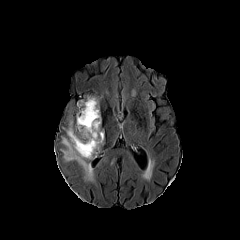
FLAIR magnetic resonance.
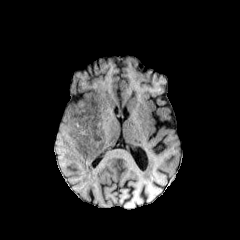
T1-weighted MR.
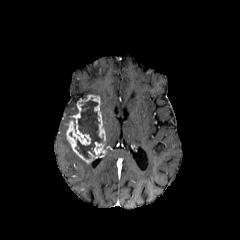
Post-contrast T1-weighted magnetic resonance.
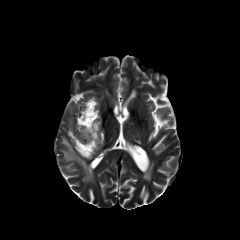
T2-weighted MR image.
Head, Axial plane
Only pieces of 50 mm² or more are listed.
The enhancing tumor is located at <bbox>66, 95, 105, 163</bbox>. The largest necrotic tumor core region lies within <bbox>75, 100, 102, 158</bbox>. The largest peritumoral edema region is at <bbox>60, 136, 94, 181</bbox>.